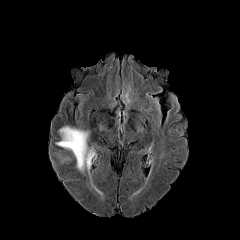
FLAIR magnetic resonance.
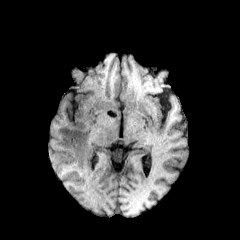
T1-weighted MR image of the same slice.
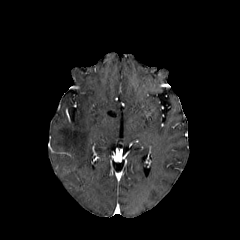
Same slice, post-contrast T1-weighted MR.
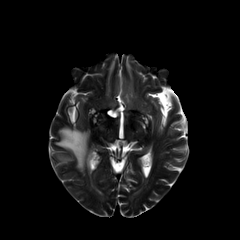
Same slice, T2-weighted magnetic resonance.
The peritumoral edema lies within (x1=56, y1=127, x2=92, y2=170).